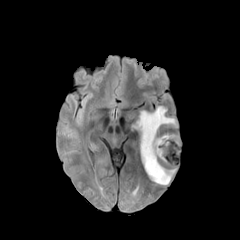
FLAIR MR image.
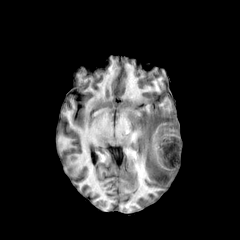
Same slice, T1-weighted MRI.
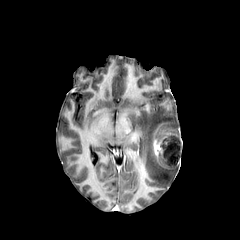
Post-contrast T1-weighted MR.
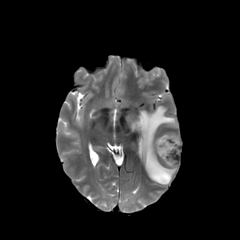
T2-weighted MR.
240x240 px
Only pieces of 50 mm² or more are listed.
* necrotic tumor core: 159:137:180:166
* enhancing tumor: 153:134:180:168
* peritumoral edema: 131:106:177:185